Brain. Slice 89/155. 240x240. Axial plane.
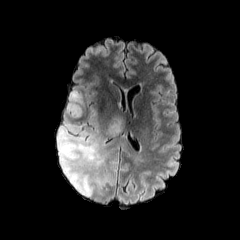
FLAIR MRI.
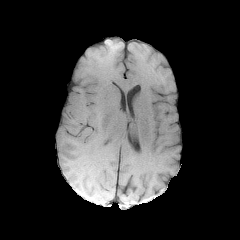
T1-weighted magnetic resonance.
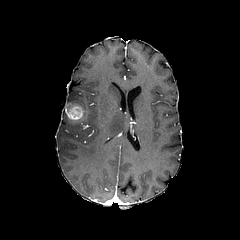
Post-contrast T1-weighted magnetic resonance of the same slice.
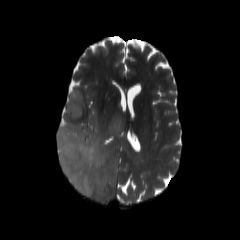
T2-weighted MRI.
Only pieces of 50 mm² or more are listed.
enhancing tumor: bounding box 66 103 83 120
peritumoral edema: bounding box 107 115 124 136, 57 91 116 196